FLAIR MR.
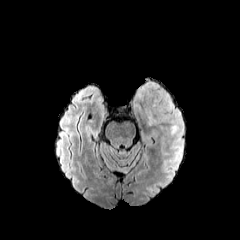
T1-weighted magnetic resonance.
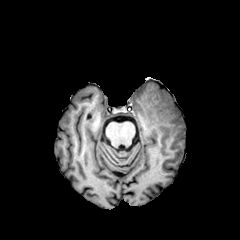
Post-contrast T1-weighted magnetic resonance.
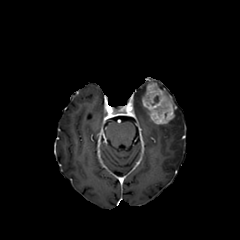
T2-weighted magnetic resonance.
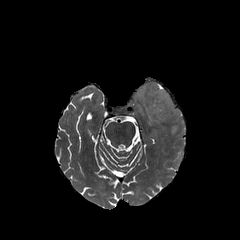
Brain. Axial slice.
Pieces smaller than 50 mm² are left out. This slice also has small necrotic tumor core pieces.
peritumoral edema at rect(135, 84, 146, 103); rect(168, 109, 183, 136)
enhancing tumor at rect(142, 81, 175, 124)